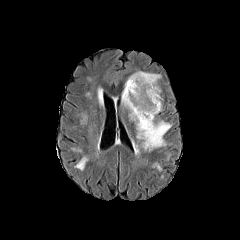
FLAIR MRI.
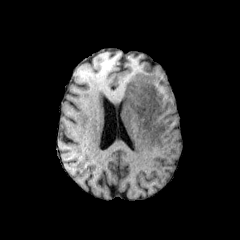
T1-weighted MR image.
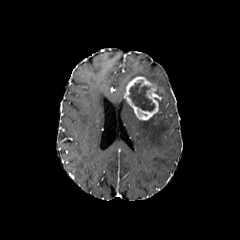
Post-contrast T1-weighted MRI.
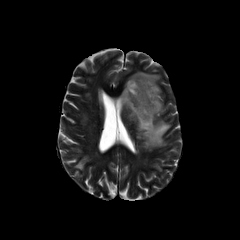
T2-weighted MR.
240x240
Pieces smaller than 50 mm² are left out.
enhancing tumor: bounding box x1=123, y1=76, x2=161, y2=120
necrotic tumor core: bounding box x1=129, y1=83, x2=154, y2=111
peritumoral edema: bounding box x1=121, y1=71, x2=171, y2=150